Head | Image width 240 mm, 1.00 mm slice spacing
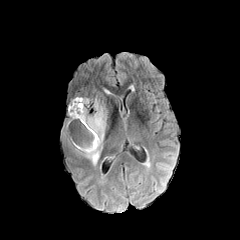
FLAIR MRI.
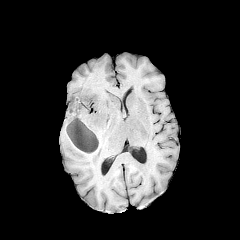
T1-weighted MRI of the same slice.
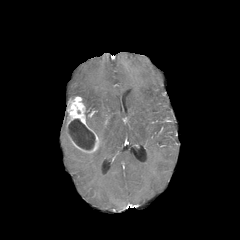
Same slice, post-contrast T1-weighted MR image.
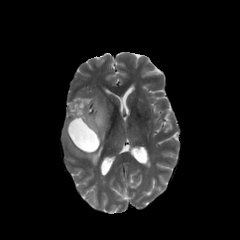
Same slice, T2-weighted MRI.
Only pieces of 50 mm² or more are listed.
necrotic tumor core: bounding box x1=68, y1=119, x2=95, y2=150
enhancing tumor: bounding box x1=66, y1=96, x2=100, y2=153
peritumoral edema: bounding box x1=78, y1=97, x2=107, y2=162